FLAIR MRI.
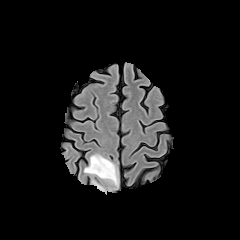
T1-weighted MR.
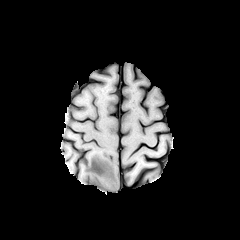
Post-contrast T1-weighted MRI.
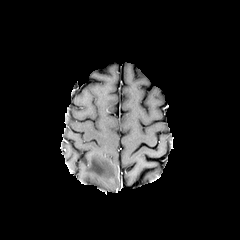
T2-weighted MR.
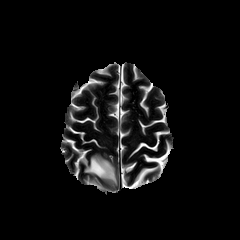
Brain.
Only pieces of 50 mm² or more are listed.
peritumoral_edema:
  - [x1=84, y1=154, x2=117, y2=190]